Brain | 240x240 px | Axial view | Slice index 85
FLAIR MRI.
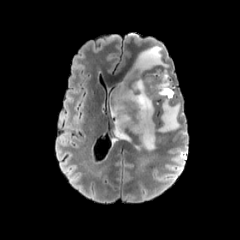
T1-weighted MR.
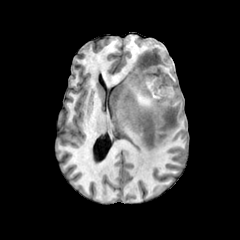
Post-contrast T1-weighted MR image.
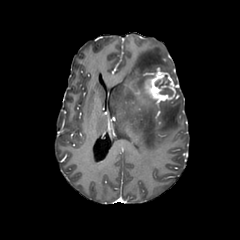
T2-weighted magnetic resonance.
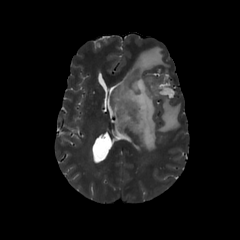
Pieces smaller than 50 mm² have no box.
necrotic tumor core: bounding box 160, 87, 173, 96; 155, 75, 169, 88
enhancing tumor: bounding box 143, 72, 176, 101
peritumoral edema: bounding box 110, 46, 180, 151